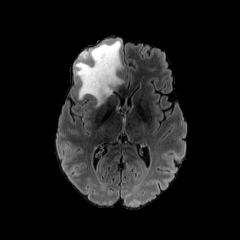
FLAIR MRI.
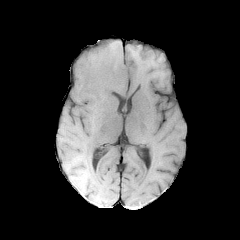
T1-weighted MRI.
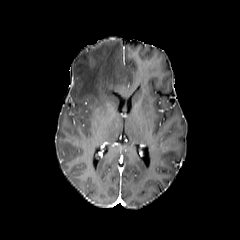
Post-contrast T1-weighted MR.
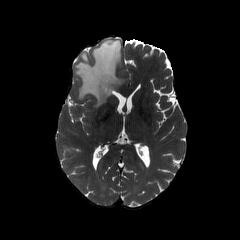
T2-weighted MR image.
240x240 px; Brain; Axial view
<segmentation>
  <peritumoral_edema>x1=75, y1=40, x2=123, y2=107</peritumoral_edema>
</segmentation>